FLAIR MR.
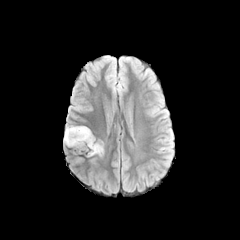
T1-weighted MR.
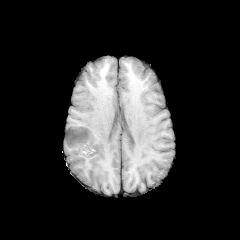
Post-contrast T1-weighted MR image.
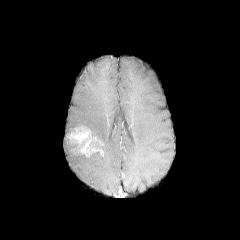
T2-weighted MR.
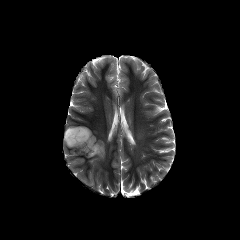
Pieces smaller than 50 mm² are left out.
{"peritumoral_edema": ["left=64, top=126, right=84, bottom=151"], "enhancing_tumor": ["left=66, top=127, right=103, bottom=156"]}